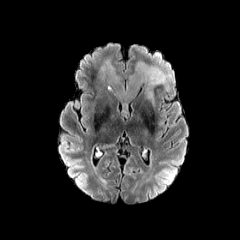
FLAIR MRI.
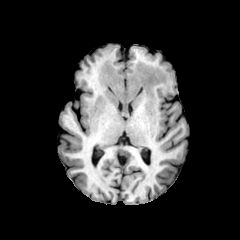
Same slice, T1-weighted MR image.
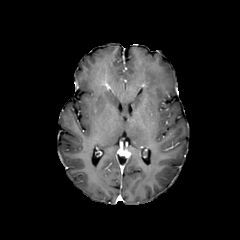
Post-contrast T1-weighted MR.
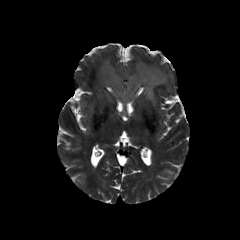
T2-weighted MR image of the same slice.
Axial plane. 240x240 px.
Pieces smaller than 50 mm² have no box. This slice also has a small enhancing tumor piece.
peritumoral_edema:
  - x1=101 y1=60 x2=171 y2=102